FLAIR MR image.
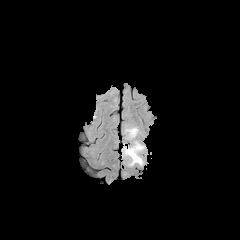
T1-weighted magnetic resonance.
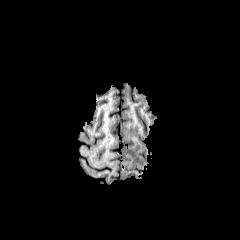
Post-contrast T1-weighted magnetic resonance.
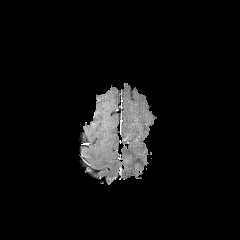
T2-weighted magnetic resonance.
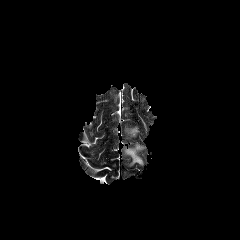
Head
Annotated regions:
- peritumoral edema: l=122, t=141, r=145, b=166; l=125, t=127, r=139, b=138